FLAIR MRI.
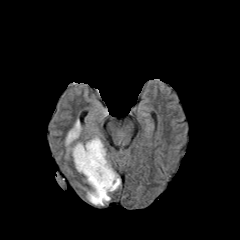
T1-weighted MR image.
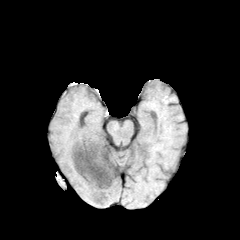
Post-contrast T1-weighted MR image.
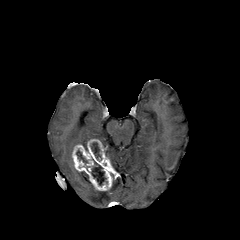
T2-weighted MRI.
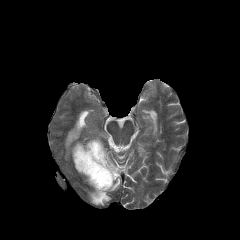
Axial slice | Image size 240x240
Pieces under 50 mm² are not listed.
The 3 largest necrotic tumor core regions are located at rect(76, 150, 87, 162); rect(91, 142, 100, 158); rect(91, 165, 105, 185). The 2 largest peritumoral edema regions are located at rect(65, 119, 81, 158); rect(80, 173, 120, 205). The enhancing tumor is bounded by rect(72, 139, 119, 191).